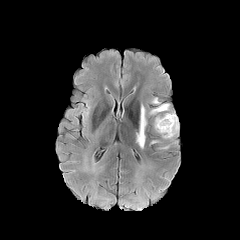
FLAIR MR.
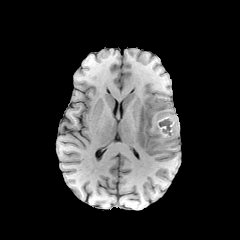
T1-weighted MR image.
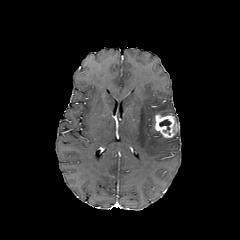
Post-contrast T1-weighted magnetic resonance.
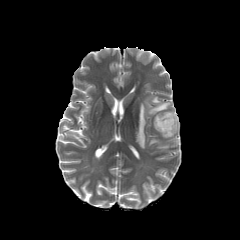
Same slice, T2-weighted MR image.
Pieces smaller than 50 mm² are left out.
* peritumoral edema: (x1=136, y1=104, x2=146, y2=148), (x1=148, y1=97, x2=178, y2=123)
* necrotic tumor core: (x1=159, y1=119, x2=171, y2=126)
* enhancing tumor: (x1=154, y1=114, x2=178, y2=138)